Brain, Slice 35/155
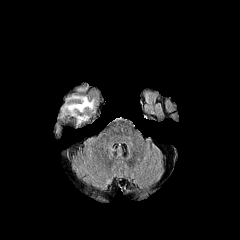
FLAIR MRI.
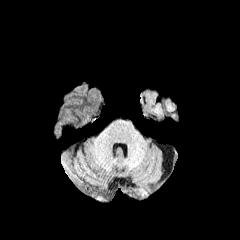
T1-weighted MRI of the same slice.
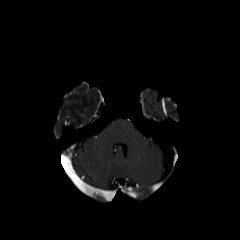
Post-contrast T1-weighted MR.
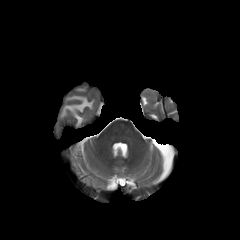
Same slice, T2-weighted MR.
{"peritumoral_edema": ["63:96:93:123"]}